Head
FLAIR MR.
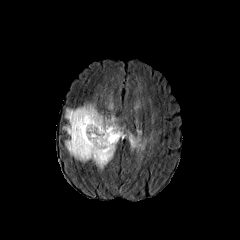
T1-weighted MR image.
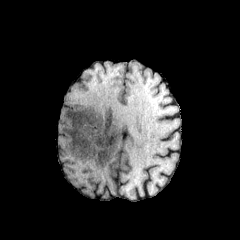
Post-contrast T1-weighted MR image.
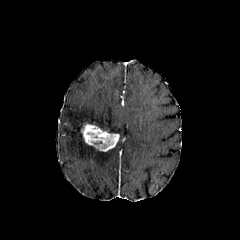
T2-weighted MR.
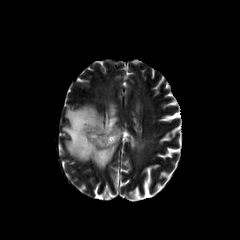
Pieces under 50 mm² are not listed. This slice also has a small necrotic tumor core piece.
Findings:
• enhancing tumor: 81,123,119,151
• peritumoral edema: 134,119,142,134; 62,103,146,171